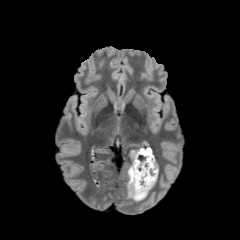
FLAIR MR image.
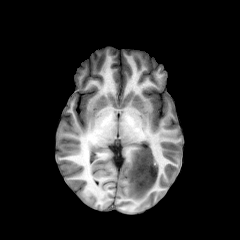
Same slice, T1-weighted MR image.
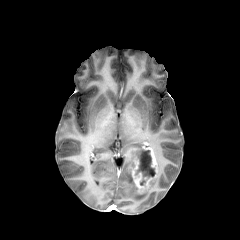
Post-contrast T1-weighted MRI of the same slice.
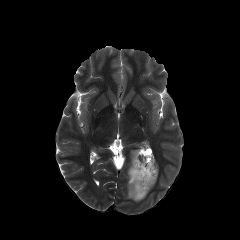
T2-weighted MR image.
240x240
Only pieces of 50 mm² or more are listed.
The largest necrotic tumor core region appears at region(135, 148, 155, 177). The largest peritumoral edema region is at region(127, 149, 157, 201). The enhancing tumor is located at region(130, 147, 158, 193).